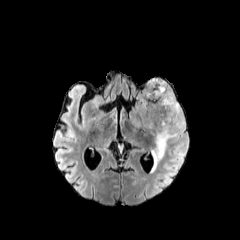
FLAIR MR.
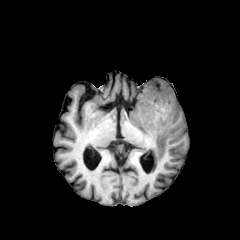
T1-weighted MR image.
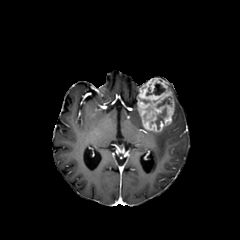
Post-contrast T1-weighted MR image.
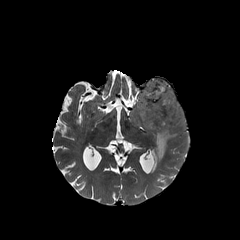
T2-weighted MR of the same slice.
Axial slice. Head.
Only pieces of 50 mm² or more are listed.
The peritumoral edema is bounded by region(150, 97, 184, 172). The 3 largest necrotic tumor core regions are located at region(146, 83, 165, 95); region(156, 98, 171, 107); region(155, 108, 166, 129). The enhancing tumor appears at region(137, 78, 174, 132).